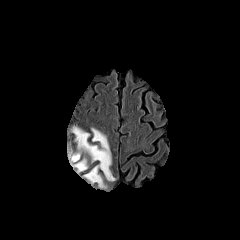
FLAIR MR image.
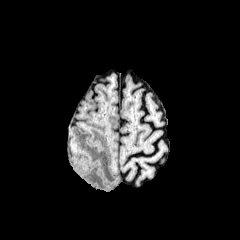
T1-weighted MRI of the same slice.
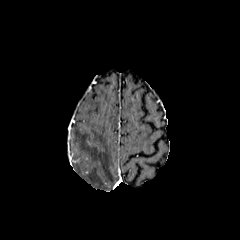
Post-contrast T1-weighted magnetic resonance of the same slice.
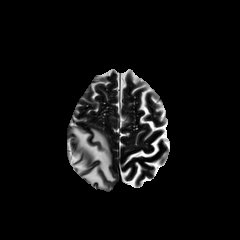
T2-weighted MRI.
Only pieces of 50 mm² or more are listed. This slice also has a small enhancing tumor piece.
<segmentation>
  <peritumoral_edema>[70, 127, 115, 188]</peritumoral_edema>
</segmentation>